FLAIR MRI.
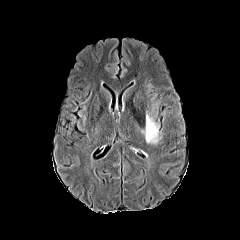
T1-weighted MR.
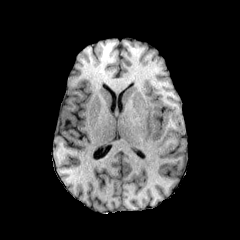
Post-contrast T1-weighted MR image.
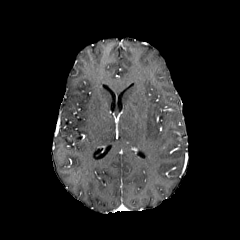
T2-weighted MR image.
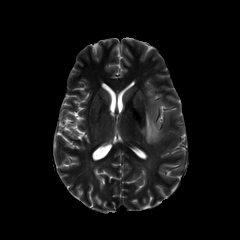
Axial slice
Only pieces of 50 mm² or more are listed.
The largest peritumoral edema region is located at (142,102,164,143).